FLAIR MR.
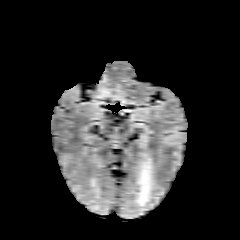
T1-weighted MRI.
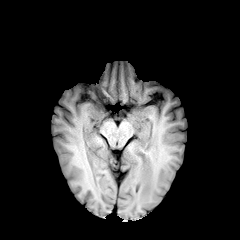
Post-contrast T1-weighted MR.
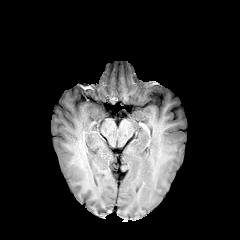
T2-weighted MR.
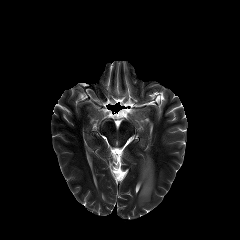
240x240, Brain
peritumoral edema: bounding box x1=136 y1=155 x2=154 y2=206